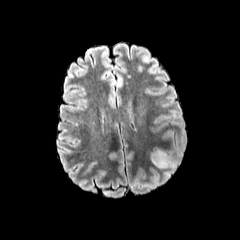
FLAIR magnetic resonance.
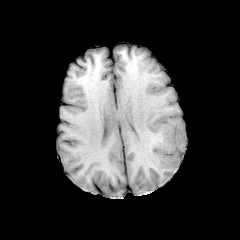
T1-weighted MR.
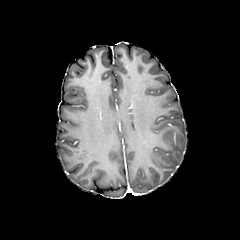
Post-contrast T1-weighted MR of the same slice.
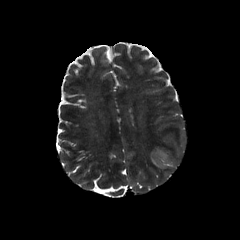
Same slice, T2-weighted MR image.
Axial view
peritumoral edema: <box>151,149,177,168</box>